Brain
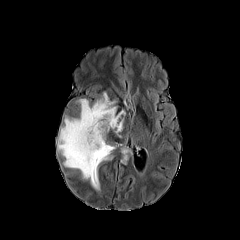
FLAIR magnetic resonance.
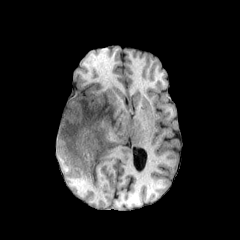
T1-weighted magnetic resonance.
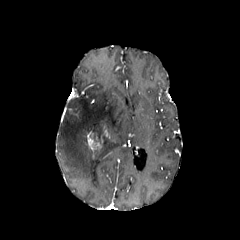
Post-contrast T1-weighted MR.
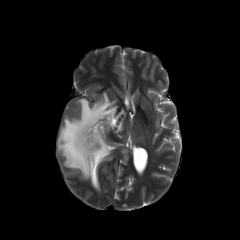
T2-weighted magnetic resonance.
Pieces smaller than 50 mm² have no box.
2 peritumoral edema regions are bounded by [x1=57, y1=92, x2=124, y2=190], [x1=121, y1=148, x2=131, y2=164]. The largest enhancing tumor region is bounded by [x1=87, y1=131, x2=101, y2=149].